Brain; Image covers 240 mm x 240 mm
FLAIR magnetic resonance.
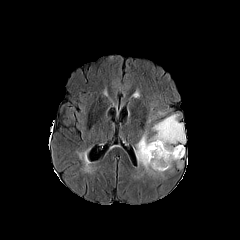
T1-weighted MR.
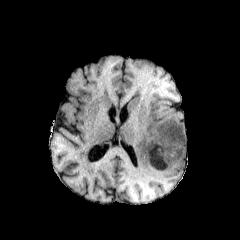
Post-contrast T1-weighted MR image.
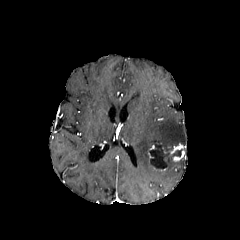
T2-weighted magnetic resonance.
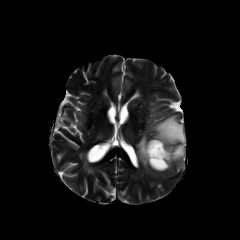
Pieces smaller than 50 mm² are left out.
The largest necrotic tumor core region appears at (left=149, top=142, right=182, bottom=168). The largest enhancing tumor region is at (left=164, top=144, right=184, bottom=161). The largest peritumoral edema region appears at (left=135, top=114, right=185, bottom=175).